FLAIR MRI.
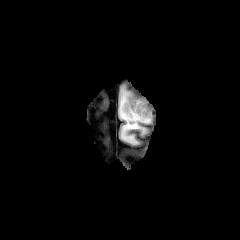
T1-weighted MR image.
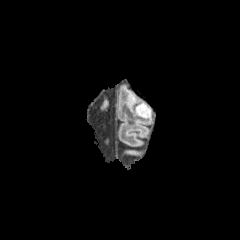
Post-contrast T1-weighted magnetic resonance.
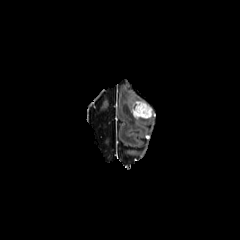
T2-weighted MR image.
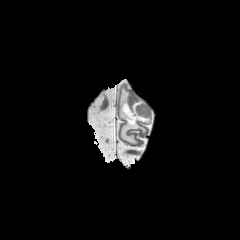
240x240
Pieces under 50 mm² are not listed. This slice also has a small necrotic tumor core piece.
The enhancing tumor is located at 131:101:151:118. The peritumoral edema is bounded by 119:87:151:144.